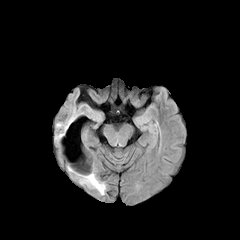
FLAIR MR.
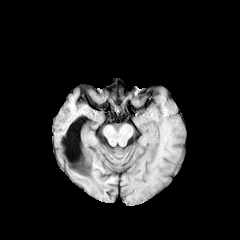
T1-weighted MR.
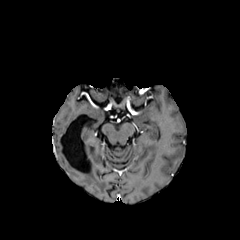
Same slice, post-contrast T1-weighted MRI.
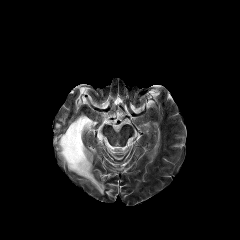
T2-weighted MRI.
Head
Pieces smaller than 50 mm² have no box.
The largest peritumoral edema region appears at <box>80,173,105,194</box>.